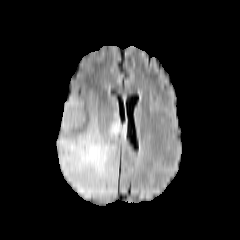
FLAIR MR image.
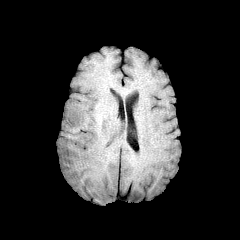
T1-weighted MR image.
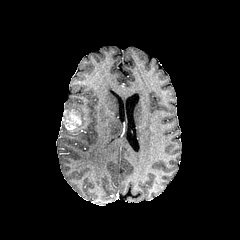
Post-contrast T1-weighted MR image of the same slice.
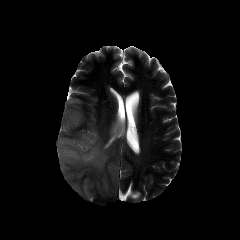
Same slice, T2-weighted MRI.
Axial plane
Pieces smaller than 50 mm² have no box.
peritumoral edema: bounding box (x1=64, y1=97, x2=84, y2=117), (x1=57, y1=114, x2=122, y2=198)
enhancing tumor: bounding box (x1=62, y1=109, x2=84, y2=130)